Slice 63/155. Image covers 240 mm x 240 mm. Head.
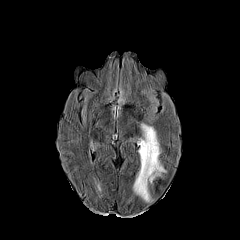
FLAIR MR.
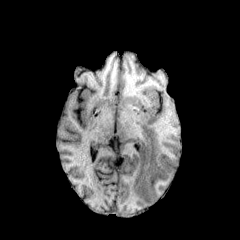
Same slice, T1-weighted magnetic resonance.
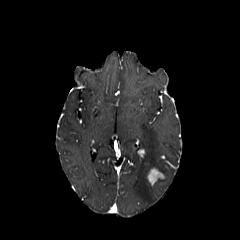
Post-contrast T1-weighted MRI.
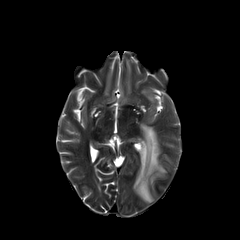
T2-weighted MR.
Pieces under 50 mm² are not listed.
Findings:
* enhancing tumor: 147, 168, 164, 185
* peritumoral edema: 133, 123, 166, 202